FLAIR MRI.
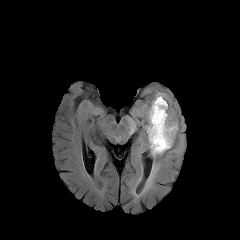
T1-weighted magnetic resonance.
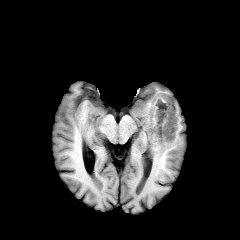
Post-contrast T1-weighted MR.
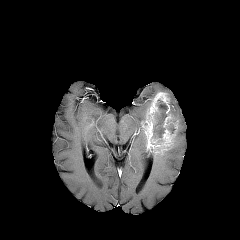
T2-weighted MR image.
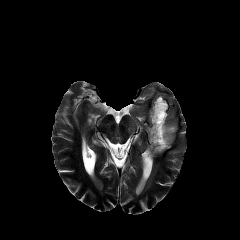
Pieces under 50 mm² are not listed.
The 4 largest peritumoral edema regions appear at box(129, 121, 135, 132); box(144, 150, 162, 190); box(140, 99, 152, 130); box(156, 91, 174, 116). The largest necrotic tumor core region is bounded by box(152, 99, 167, 143). The enhancing tumor lies within box(144, 92, 177, 154).